FLAIR MR.
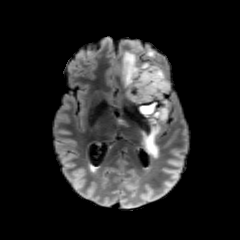
T1-weighted MRI.
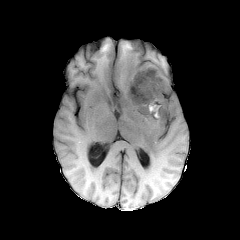
Post-contrast T1-weighted magnetic resonance.
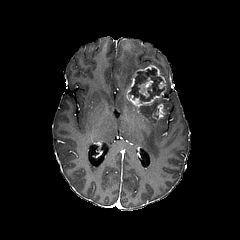
T2-weighted MRI.
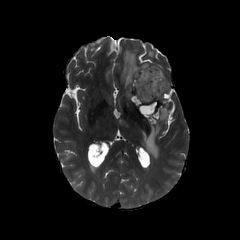
Brain.
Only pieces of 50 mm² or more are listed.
necrotic_tumor_core:
  - 128 68 163 102
  - 140 102 157 115
peritumoral_edema:
  - 122 50 169 90
  - 147 48 154 57
  - 142 97 168 157
enhancing_tumor:
  - 126 65 166 111
  - 139 77 153 97
  - 149 104 165 119